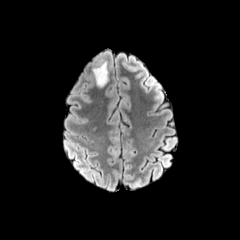
FLAIR MR.
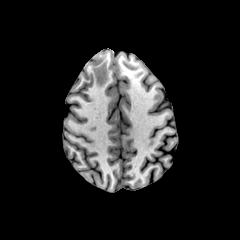
T1-weighted MR.
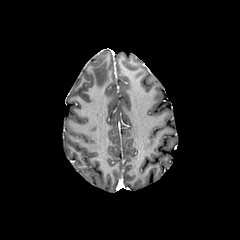
Post-contrast T1-weighted MR.
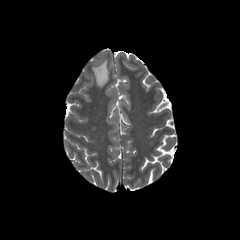
T2-weighted MR image of the same slice.
Head
Annotated regions:
* peritumoral edema: 93,61,108,87